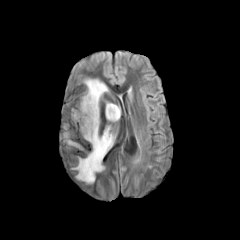
FLAIR MRI.
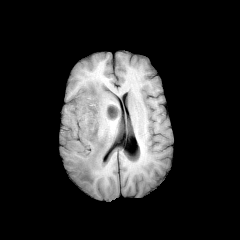
T1-weighted MR.
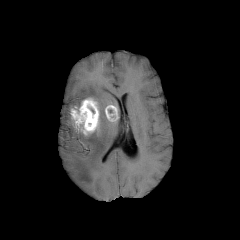
Post-contrast T1-weighted magnetic resonance of the same slice.
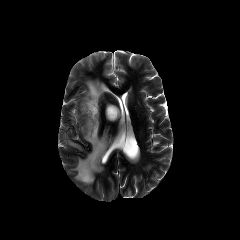
T2-weighted MR of the same slice.
240x240 px. Axial plane.
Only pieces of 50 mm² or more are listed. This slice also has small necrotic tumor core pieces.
peritumoral_edema:
  - x1=82, y1=79, x2=108, y2=104
  - x1=64, y1=133, x2=80, y2=148
  - x1=73, y1=126, x2=113, y2=183
enhancing_tumor:
  - x1=105, y1=105, x2=118, y2=121
  - x1=71, y1=98, x2=99, y2=136